240x240; Slice index 109
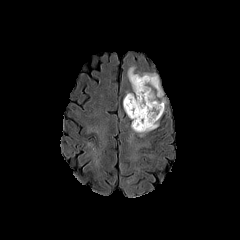
FLAIR magnetic resonance.
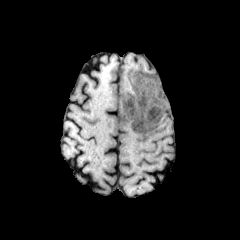
Same slice, T1-weighted MR image.
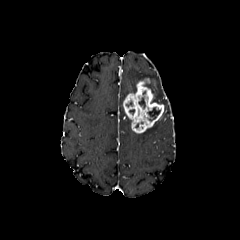
Same slice, post-contrast T1-weighted magnetic resonance.
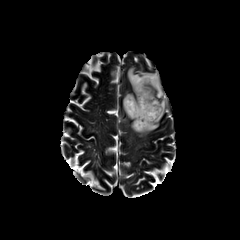
Same slice, T2-weighted MRI.
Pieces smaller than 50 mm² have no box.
Findings:
* necrotic tumor core: x1=148 y1=107 x2=160 y2=120
* enhancing tumor: x1=123 y1=78 x2=164 y2=133
* peritumoral edema: x1=127 y1=67 x2=166 y2=105, x1=138 y1=120 x2=159 y2=136